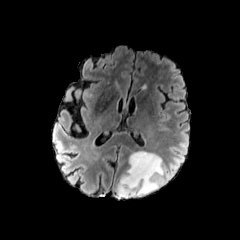
FLAIR MR image.
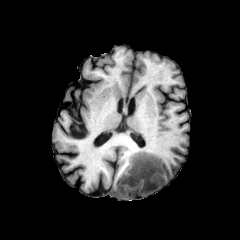
Same slice, T1-weighted MR image.
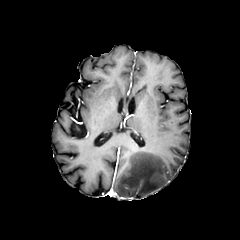
Post-contrast T1-weighted MRI.
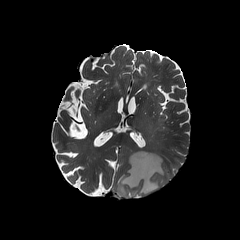
Same slice, T2-weighted MR.
peritumoral edema: (x1=116, y1=151, x2=164, y2=197)